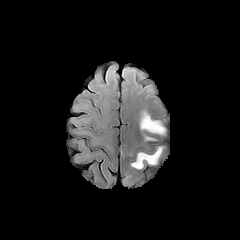
FLAIR MR.
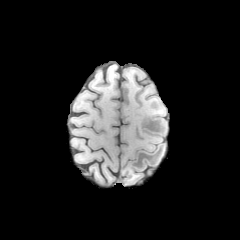
Same slice, T1-weighted MRI.
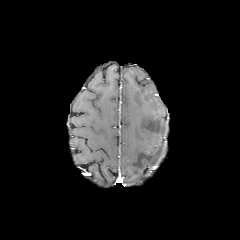
Post-contrast T1-weighted MRI.
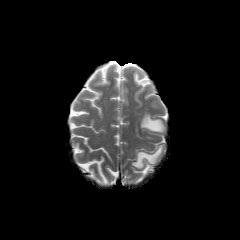
T2-weighted MRI.
Head; 240x240; Axial slice
Annotated regions:
* peritumoral edema: [140, 112, 166, 140], [131, 146, 165, 168]